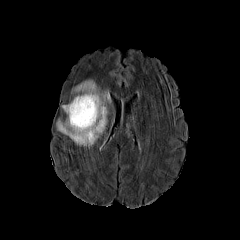
FLAIR magnetic resonance.
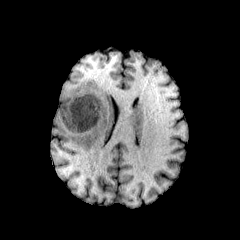
T1-weighted MR image.
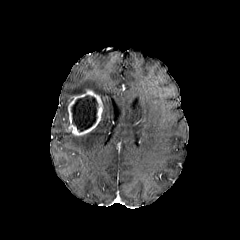
Post-contrast T1-weighted MR image.
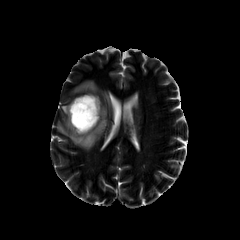
T2-weighted MRI.
Head. 240x240 px.
The enhancing tumor lies within (66,89,103,136). The peritumoral edema lies within (57,80,110,148). The necrotic tumor core is located at (71,95,97,131).